Slice 46/155; Axial plane; Brain
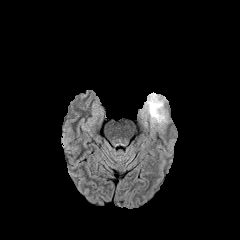
FLAIR MRI.
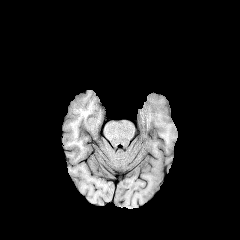
T1-weighted MRI of the same slice.
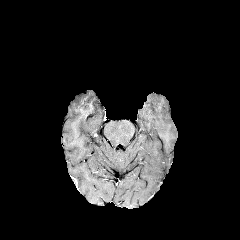
Same slice, post-contrast T1-weighted MR.
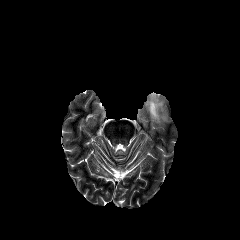
Same slice, T2-weighted MRI.
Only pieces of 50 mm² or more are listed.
peritumoral edema: 142, 92, 168, 127